Slice 85/155 | 240x240 | Brain
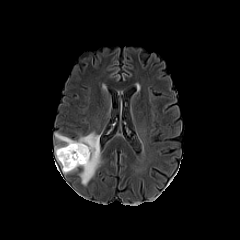
FLAIR MRI.
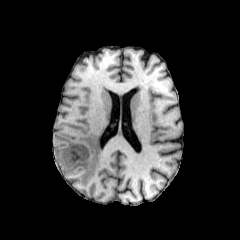
T1-weighted magnetic resonance.
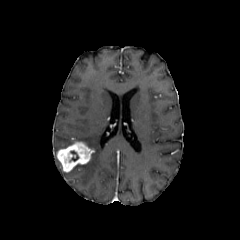
Post-contrast T1-weighted MRI.
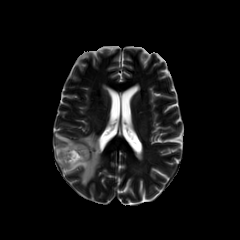
T2-weighted MR.
Annotated regions:
• peritumoral edema: bbox=[55, 132, 101, 185]
• necrotic tumor core: bbox=[70, 151, 78, 161]
• enhancing tumor: bbox=[56, 141, 94, 172]